FLAIR magnetic resonance.
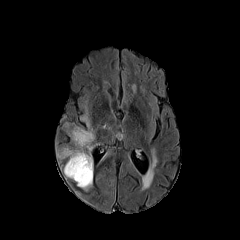
T1-weighted MRI.
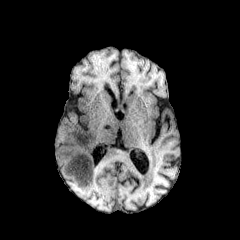
Post-contrast T1-weighted MRI.
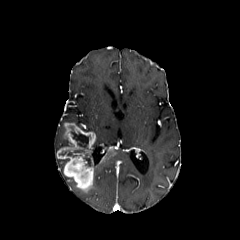
T2-weighted MR.
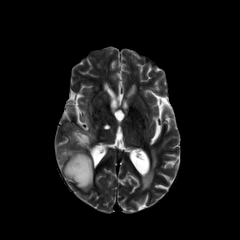
240x240; Brain
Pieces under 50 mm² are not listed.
necrotic_tumor_core:
  - 83:154:92:166
  - 71:131:88:148
  - 59:151:77:156
enhancing_tumor:
  - 57:123:95:193
  - 102:150:117:163
peritumoral_edema:
  - 79:114:93:131